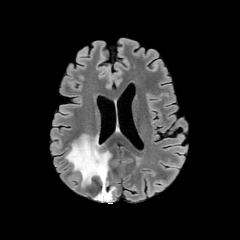
FLAIR magnetic resonance.
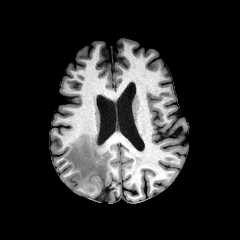
T1-weighted MR of the same slice.
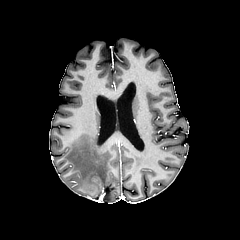
Post-contrast T1-weighted MR image.
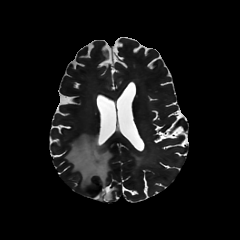
Same slice, T2-weighted MRI.
Brain.
peritumoral edema: bounding box (104, 187, 114, 200), (65, 134, 111, 188)